FLAIR MR image.
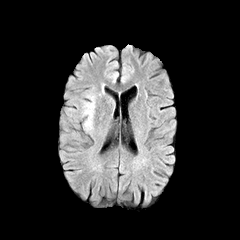
T1-weighted magnetic resonance.
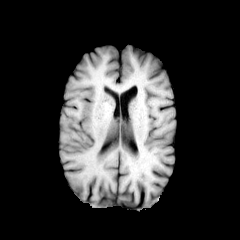
Post-contrast T1-weighted MRI.
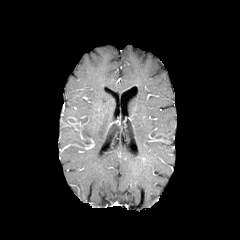
T2-weighted MR.
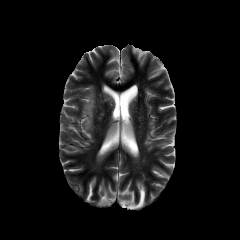
240x240, Head
• peritumoral edema: (83, 95, 94, 129)